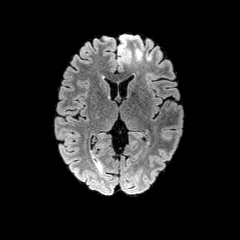
FLAIR magnetic resonance.
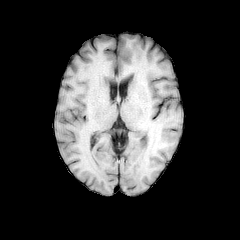
T1-weighted magnetic resonance of the same slice.
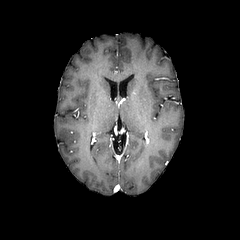
Post-contrast T1-weighted MRI of the same slice.
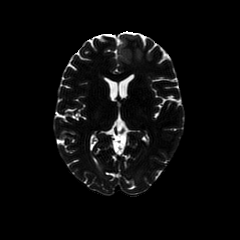
T2-weighted MR of the same slice.
Axial plane.
peritumoral_edema:
  - <bbox>134, 47, 143, 60</bbox>
  - <bbox>117, 34, 138, 64</bbox>